Slice index 135, Axial slice
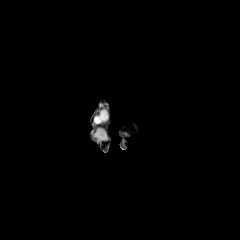
FLAIR magnetic resonance.
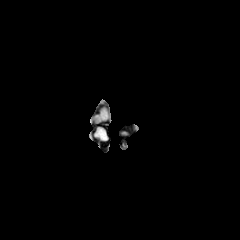
T1-weighted magnetic resonance.
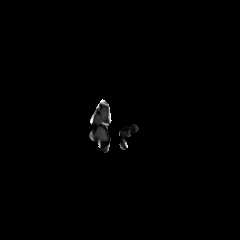
Post-contrast T1-weighted magnetic resonance of the same slice.
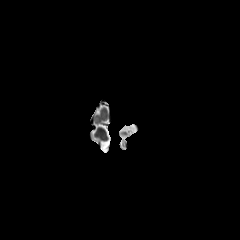
T2-weighted MR of the same slice.
Findings:
• peritumoral edema: 95:113:105:122